240x240 | Brain
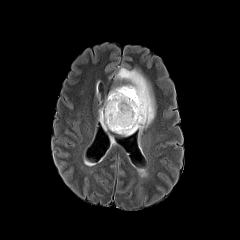
FLAIR MRI.
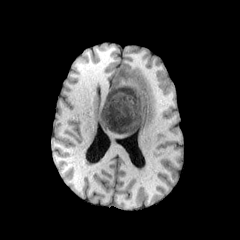
T1-weighted MRI.
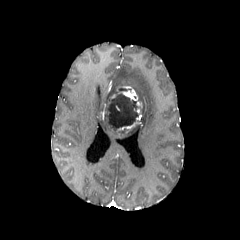
Post-contrast T1-weighted MR image.
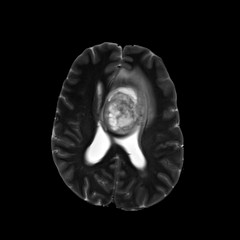
T2-weighted magnetic resonance of the same slice.
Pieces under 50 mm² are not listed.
enhancing tumor: bounding box left=110, top=86, right=141, bottom=132
necrotic tumor core: bounding box left=104, top=91, right=138, bottom=130
peritumoral edema: bounding box left=115, top=67, right=154, bottom=135; left=98, top=107, right=111, bottom=130